FLAIR MRI.
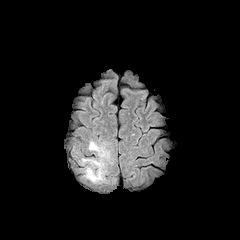
T1-weighted magnetic resonance.
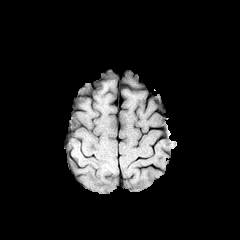
Post-contrast T1-weighted MR.
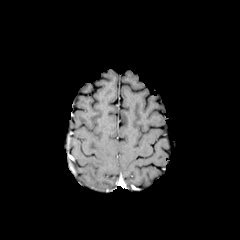
T2-weighted magnetic resonance.
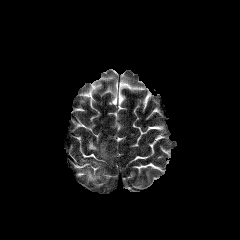
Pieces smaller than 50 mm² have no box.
Findings:
• peritumoral edema: bbox(86, 169, 101, 182); bbox(89, 142, 99, 151)